FLAIR MR.
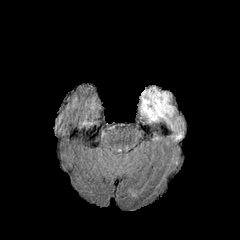
T1-weighted magnetic resonance.
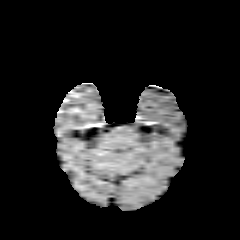
Post-contrast T1-weighted MRI.
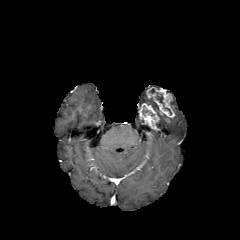
T2-weighted MR image.
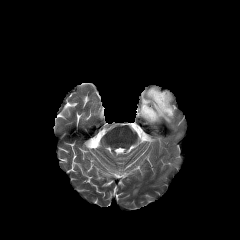
240x240 px
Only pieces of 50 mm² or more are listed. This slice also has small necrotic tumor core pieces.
enhancing tumor = bbox(139, 87, 174, 128)
peritumoral edema = bbox(159, 114, 176, 130); bbox(141, 90, 161, 112)